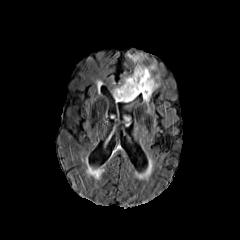
FLAIR MR.
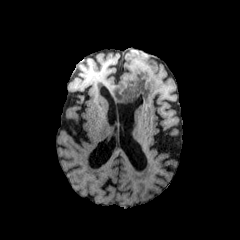
T1-weighted MR image.
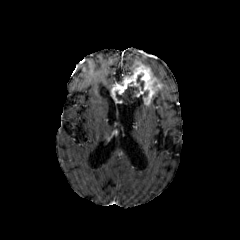
Post-contrast T1-weighted MRI.
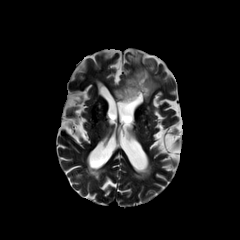
T2-weighted MRI.
Image size 240x240 | Axial view
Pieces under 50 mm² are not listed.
Annotated regions:
- necrotic tumor core: l=116, t=86, r=138, b=103; l=137, t=75, r=143, b=90
- enhancing tumor: l=111, t=62, r=160, b=105
- peritumoral edema: l=127, t=53, r=146, b=66